Head.
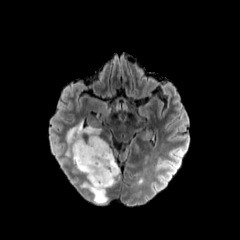
FLAIR MRI.
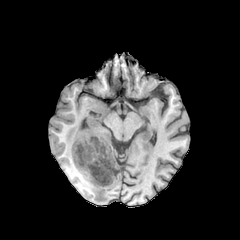
T1-weighted MRI.
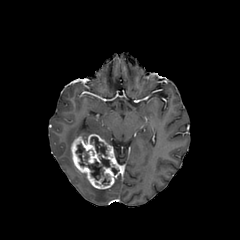
Post-contrast T1-weighted MR of the same slice.
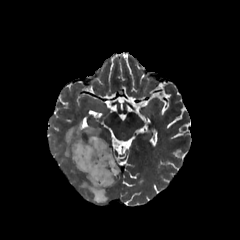
T2-weighted magnetic resonance.
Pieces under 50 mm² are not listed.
The largest enhancing tumor region is at (left=71, top=134, right=120, bottom=189). The 2 largest necrotic tumor core regions are located at (left=90, top=136, right=107, bottom=156), (left=76, top=143, right=109, bottom=180). The 2 largest peritumoral edema regions are located at (left=65, top=122, right=101, bottom=158), (left=81, top=175, right=107, bottom=203).